FLAIR MRI.
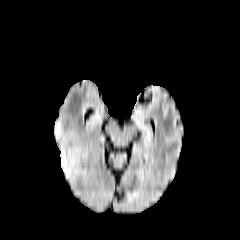
T1-weighted magnetic resonance.
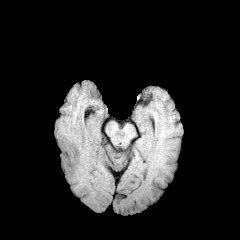
Post-contrast T1-weighted magnetic resonance.
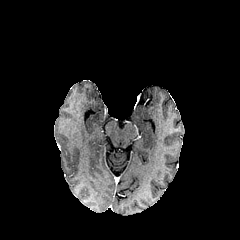
T2-weighted MR.
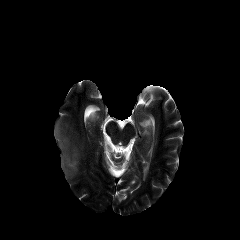
* peritumoral edema: x1=54 y1=121 x2=84 y2=177, x1=90 y1=111 x2=100 y2=124